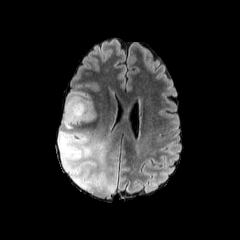
FLAIR MRI.
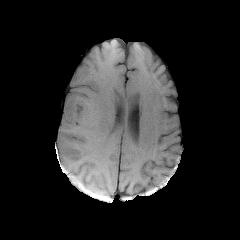
T1-weighted MR image.
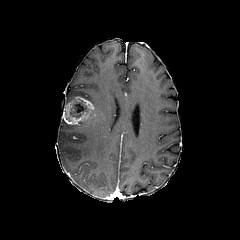
Post-contrast T1-weighted MR image of the same slice.
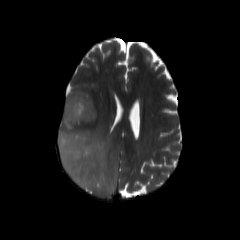
T2-weighted MR image.
240x240 | Head
3 peritumoral edema regions are located at 65 92 93 104, 58 120 117 196, 79 105 97 123. The necrotic tumor core appears at 70 99 88 117. The enhancing tumor is located at 63 96 93 125.